FLAIR magnetic resonance.
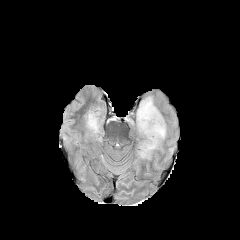
T1-weighted MRI.
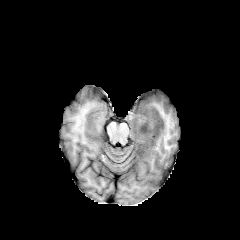
Post-contrast T1-weighted MRI.
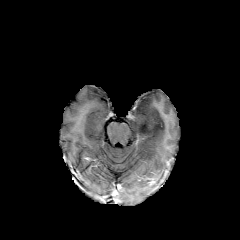
T2-weighted MRI.
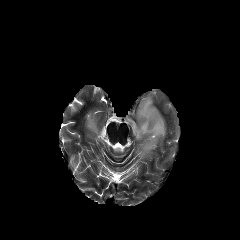
Head
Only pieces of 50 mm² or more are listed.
The 2 largest peritumoral edema regions are located at <box>87,115,100,140</box>, <box>134,96,166,171</box>.